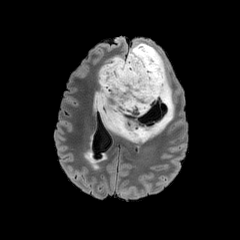
FLAIR MR.
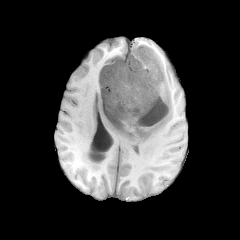
T1-weighted magnetic resonance.
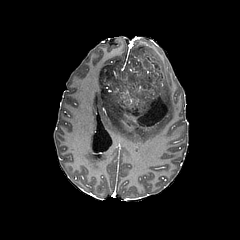
Post-contrast T1-weighted magnetic resonance.
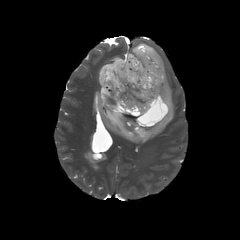
T2-weighted MR.
Head | 240x240 px | Axial slice
peritumoral edema: bounding box bbox(105, 56, 123, 64); bbox(93, 42, 174, 142)
necrotic tumor core: bounding box bbox(100, 53, 170, 127)